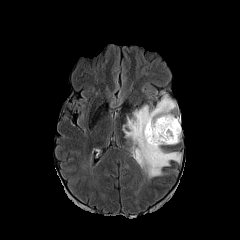
FLAIR MR image.
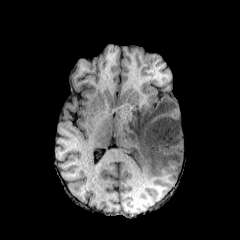
T1-weighted magnetic resonance.
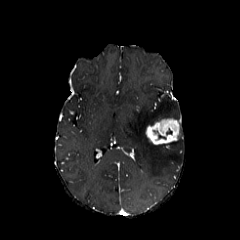
Post-contrast T1-weighted MRI.
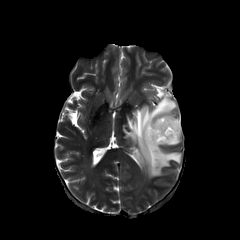
T2-weighted magnetic resonance of the same slice.
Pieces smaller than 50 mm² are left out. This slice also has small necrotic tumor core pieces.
The enhancing tumor is located at box(145, 118, 180, 144). The largest peritumoral edema region is bounded by box(123, 95, 181, 178).